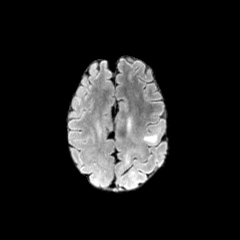
FLAIR MRI.
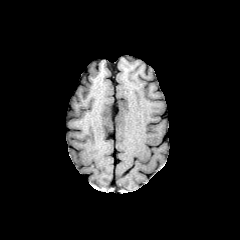
T1-weighted MR image.
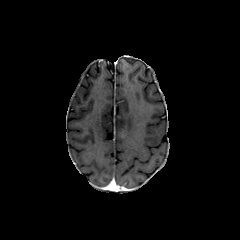
Post-contrast T1-weighted MR image.
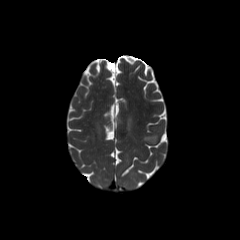
T2-weighted magnetic resonance.
Brain
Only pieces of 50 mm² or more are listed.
{
  "peritumoral_edema": [
    "region(144, 134, 157, 142)",
    "region(127, 117, 131, 131)"
  ]
}